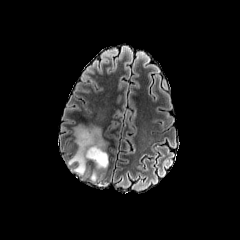
FLAIR MR.
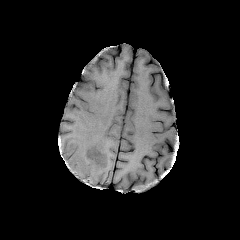
T1-weighted MR image.
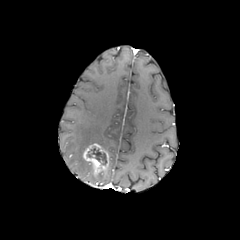
Post-contrast T1-weighted MRI.
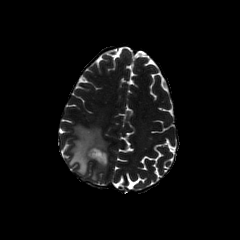
Same slice, T2-weighted MR.
Brain; Axial plane
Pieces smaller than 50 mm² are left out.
The largest peritumoral edema region lies within 67,126,108,175. The largest necrotic tumor core region appears at 90,147,106,164. The enhancing tumor is at 83,143,108,175.